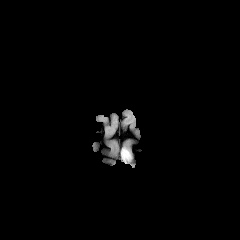
FLAIR magnetic resonance.
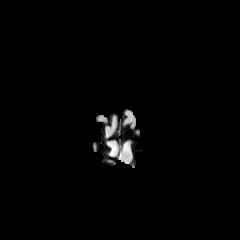
T1-weighted magnetic resonance of the same slice.
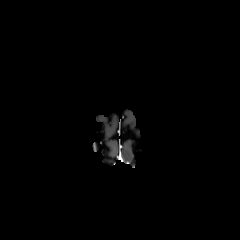
Post-contrast T1-weighted MRI.
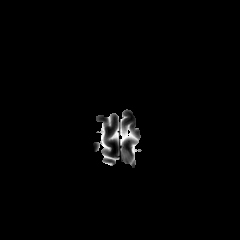
Same slice, T2-weighted magnetic resonance.
Axial slice; Head; Image size 240x240
The peritumoral edema is located at 121, 147, 132, 164.